Image width 240 mm | Brain
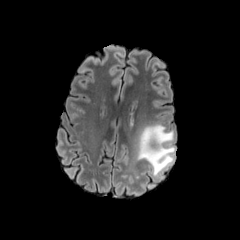
FLAIR magnetic resonance.
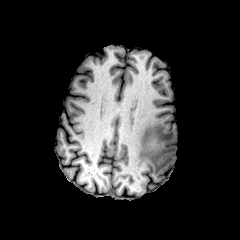
T1-weighted magnetic resonance.
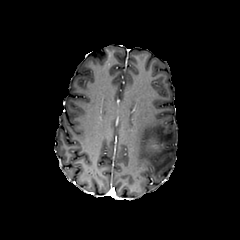
Post-contrast T1-weighted MR image of the same slice.
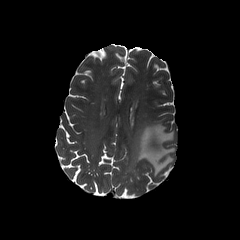
T2-weighted MR.
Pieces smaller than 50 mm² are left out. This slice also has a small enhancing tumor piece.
Findings:
• peritumoral edema: left=137, top=123, right=175, bottom=175